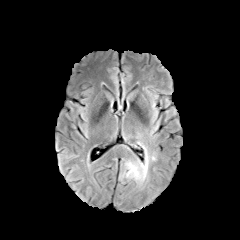
FLAIR magnetic resonance.
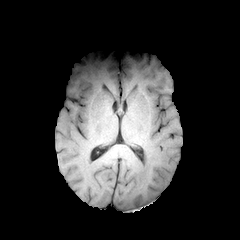
T1-weighted magnetic resonance.
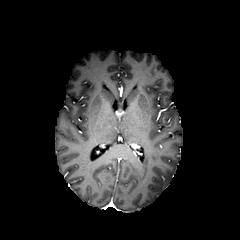
Post-contrast T1-weighted MR image of the same slice.
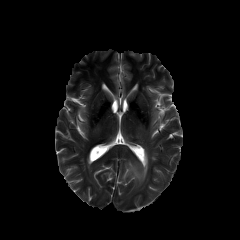
T2-weighted MR image.
peritumoral edema at rect(124, 152, 148, 183)